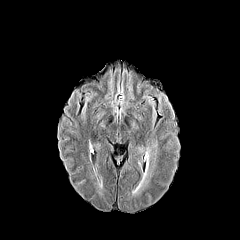
FLAIR magnetic resonance.
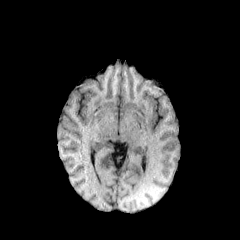
T1-weighted MR.
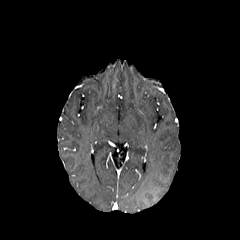
Same slice, post-contrast T1-weighted magnetic resonance.
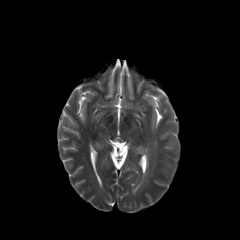
T2-weighted MR.
Head
peritumoral edema: bbox(132, 172, 151, 192)